240x240 px, Brain, Slice 113/155
FLAIR MR image.
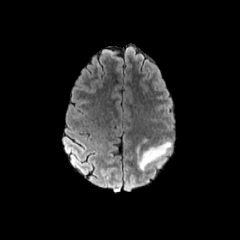
T1-weighted MR.
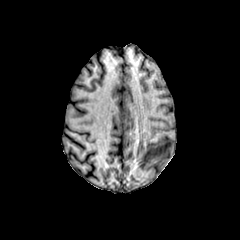
Post-contrast T1-weighted MR.
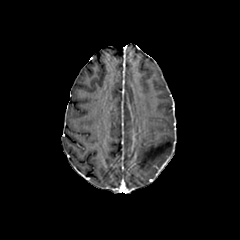
T2-weighted MR.
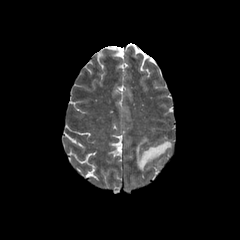
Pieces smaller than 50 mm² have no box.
peritumoral edema: bbox(137, 141, 172, 170)